FLAIR MRI.
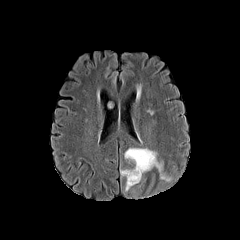
T1-weighted MR.
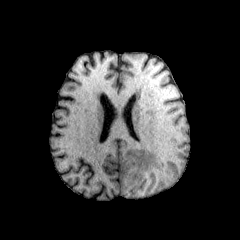
Post-contrast T1-weighted MR.
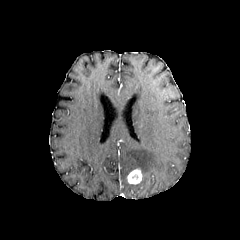
T2-weighted MR image.
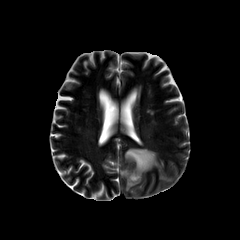
enhancing_tumor:
  - (x1=127, y1=168, x2=142, y2=184)
peritumoral_edema:
  - (x1=124, y1=148, x2=171, y2=181)
  - (x1=121, y1=170, x2=131, y2=177)
  - (x1=125, y1=182, x2=134, y2=191)